Brain, Axial plane
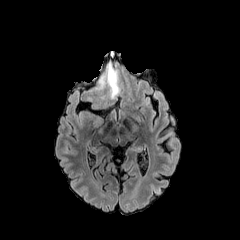
FLAIR magnetic resonance.
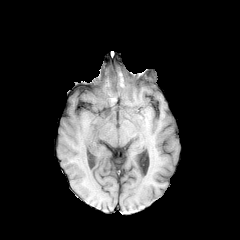
Same slice, T1-weighted magnetic resonance.
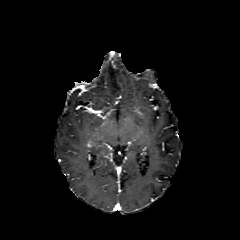
Same slice, post-contrast T1-weighted MR.
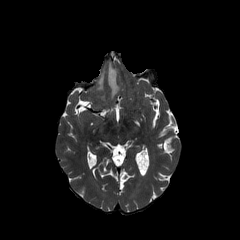
T2-weighted MR image.
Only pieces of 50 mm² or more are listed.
peritumoral edema: box(94, 74, 104, 90); box(106, 63, 119, 98)